FLAIR MR.
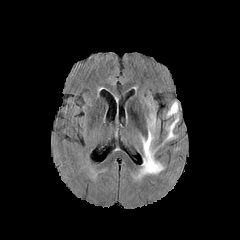
T1-weighted MRI.
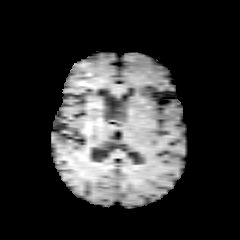
Post-contrast T1-weighted MR image.
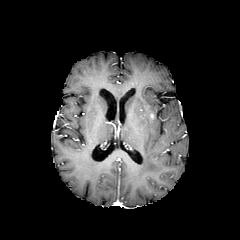
T2-weighted MR.
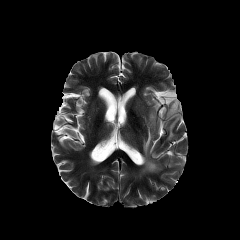
Brain
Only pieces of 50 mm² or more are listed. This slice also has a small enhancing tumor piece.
3 peritumoral edema regions appear at 167 101 178 116, 140 112 163 174, 166 115 178 139.